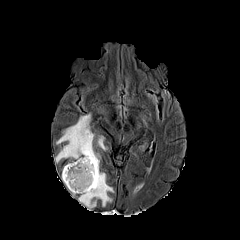
FLAIR MR.
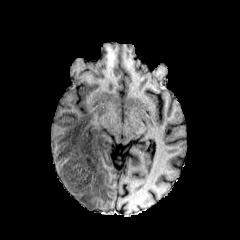
T1-weighted MR image.
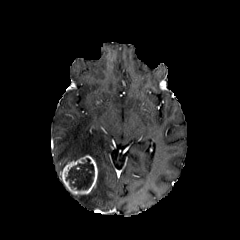
Post-contrast T1-weighted magnetic resonance.
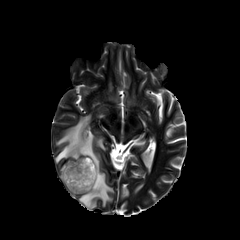
T2-weighted MRI of the same slice.
240x240. Axial slice.
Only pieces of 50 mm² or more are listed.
The largest necrotic tumor core region appears at region(66, 158, 94, 190). 2 peritumoral edema regions are located at region(55, 114, 114, 210); region(96, 136, 106, 150). The largest enhancing tumor region lies within region(61, 155, 97, 194).